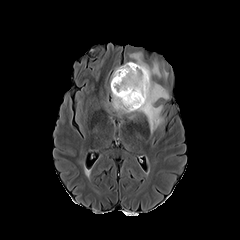
FLAIR magnetic resonance.
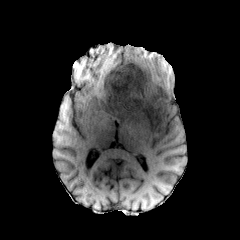
T1-weighted magnetic resonance.
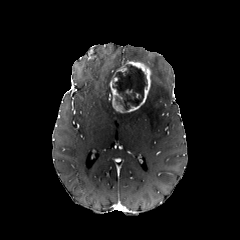
Same slice, post-contrast T1-weighted MR.
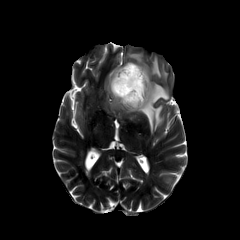
T2-weighted magnetic resonance.
Axial slice
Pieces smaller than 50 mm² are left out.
The necrotic tumor core is located at (113,64,147,110). The 3 largest peritumoral edema regions are bounded by (108,81,168,133), (150,61,161,77), (130,53,143,62). The largest enhancing tumor region is located at (110,61,151,113).